Brain
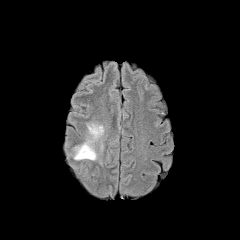
FLAIR MRI.
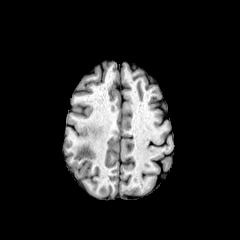
Same slice, T1-weighted MR image.
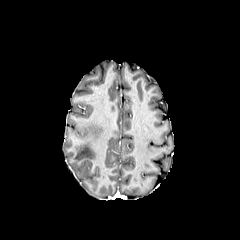
Post-contrast T1-weighted MR.
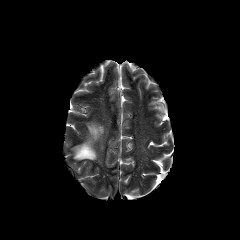
T2-weighted MRI.
The peritumoral edema lies within l=74, t=123, r=103, b=160.